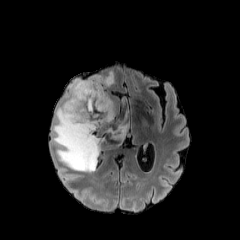
FLAIR MRI.
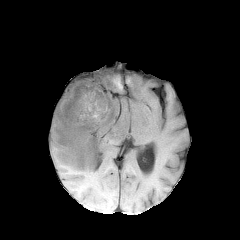
T1-weighted MRI.
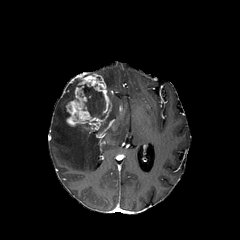
Post-contrast T1-weighted MRI.
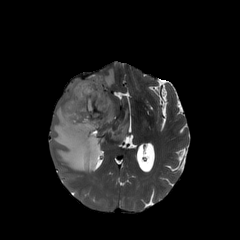
T2-weighted magnetic resonance.
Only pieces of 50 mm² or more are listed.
Annotated regions:
• necrotic tumor core: x1=82, y1=84, x2=106, y2=119
• peritumoral edema: x1=99, y1=70, x2=114, y2=89; x1=53, y1=78, x2=127, y2=172
• enhancing tumor: x1=65, y1=74, x2=111, y2=133